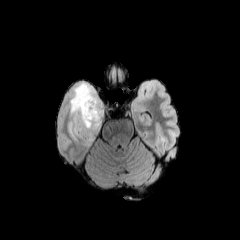
FLAIR magnetic resonance.
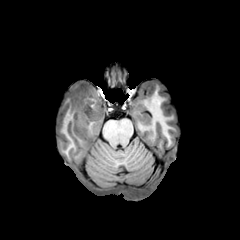
Same slice, T1-weighted MR.
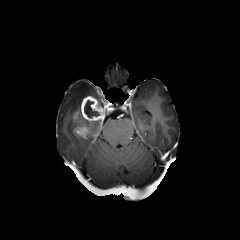
Post-contrast T1-weighted magnetic resonance.
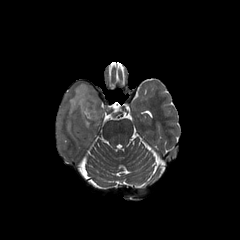
Same slice, T2-weighted MRI.
Brain. 240x240 px.
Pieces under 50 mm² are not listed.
The necrotic tumor core is bounded by l=84, t=100, r=99, b=117. The 2 largest peritumoral edema regions appear at l=68, t=82, r=101, b=139; l=79, t=121, r=101, b=144. The enhancing tumor appears at l=73, t=96, r=104, b=138.